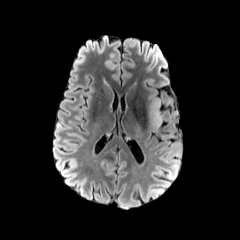
FLAIR magnetic resonance.
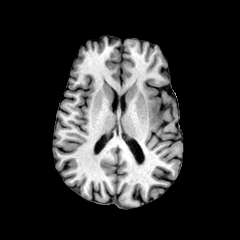
T1-weighted MR image.
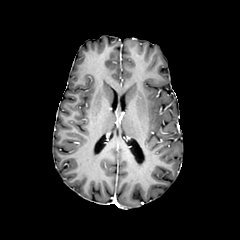
Post-contrast T1-weighted MRI.
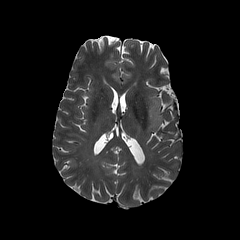
T2-weighted MRI.
The peritumoral edema is located at [150, 99, 161, 126].